Image covers 240 mm x 240 mm
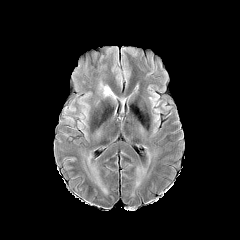
FLAIR MR image.
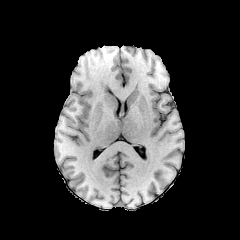
T1-weighted MRI of the same slice.
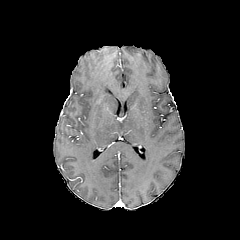
Same slice, post-contrast T1-weighted magnetic resonance.
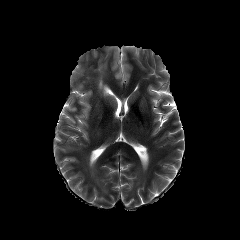
T2-weighted MR image.
peritumoral_edema:
  - rect(99, 82, 110, 96)